Slice 54 of 155. Image covers 240 mm x 240 mm. Axial slice.
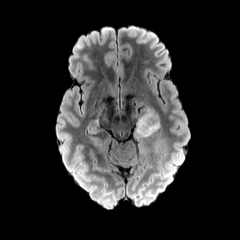
FLAIR magnetic resonance.
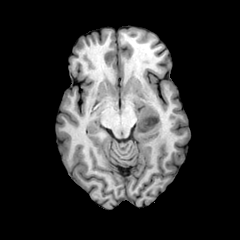
T1-weighted MR.
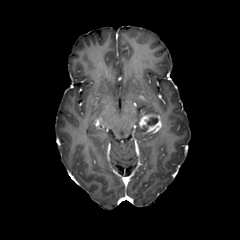
Post-contrast T1-weighted MR.
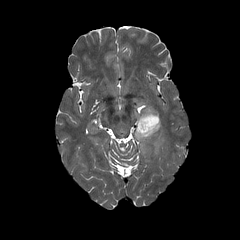
Same slice, T2-weighted MR.
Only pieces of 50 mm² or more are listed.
peritumoral edema: (left=134, top=116, right=155, bottom=141), (left=141, top=107, right=155, bottom=115) | necrotic tumor core: (left=147, top=117, right=157, bottom=125) | enhancing tumor: (left=139, top=112, right=161, bottom=133)